Head; Slice 37/155
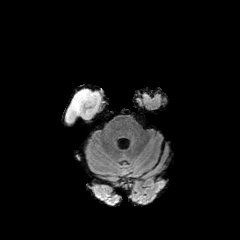
FLAIR magnetic resonance.
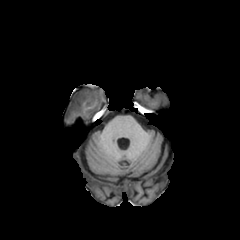
T1-weighted MR.
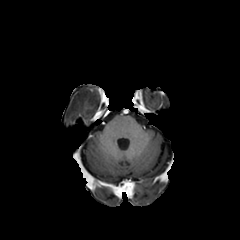
Post-contrast T1-weighted MR.
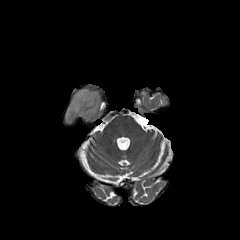
T2-weighted MR image of the same slice.
<segmentation>
  <peritumoral_edema>65,89,99,123</peritumoral_edema>
</segmentation>